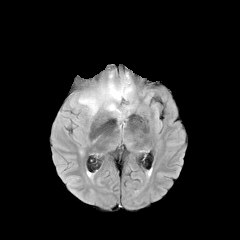
FLAIR MRI.
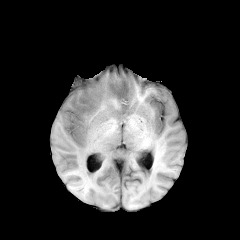
T1-weighted MR.
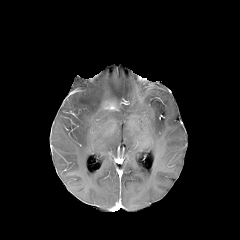
Post-contrast T1-weighted magnetic resonance.
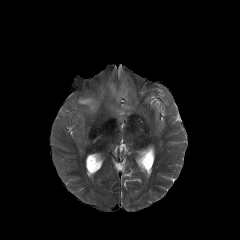
Same slice, T2-weighted MR.
Axial plane
2 peritumoral edema regions appear at {"x1": 78, "y1": 68, "x2": 131, "y2": 115}, {"x1": 105, "y1": 108, "x2": 120, "y2": 116}. The enhancing tumor lies within {"x1": 105, "y1": 103, "x2": 116, "y2": 109}.